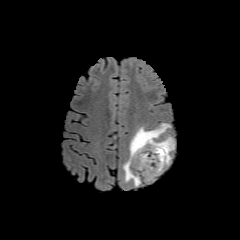
FLAIR MR.
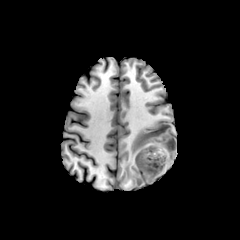
T1-weighted magnetic resonance.
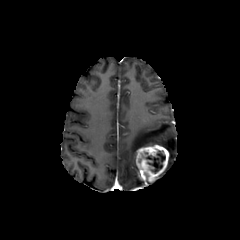
Post-contrast T1-weighted MR image.
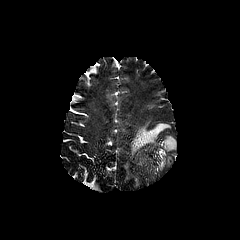
T2-weighted MR of the same slice.
Axial plane. 240x240.
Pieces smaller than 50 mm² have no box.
{
  "necrotic_tumor_core": [
    "x1=146, y1=151, x2=165, y2=172"
  ],
  "peritumoral_edema": [
    "x1=156, y1=136, x2=175, y2=153",
    "x1=123, y1=123, x2=170, y2=186"
  ],
  "enhancing_tumor": [
    "x1=134, y1=141, x2=169, y2=183"
  ]
}